FLAIR MR image.
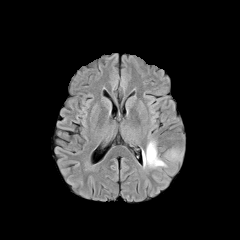
T1-weighted MR.
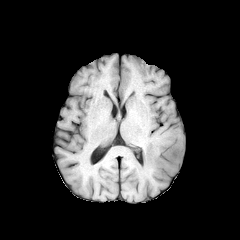
Post-contrast T1-weighted magnetic resonance.
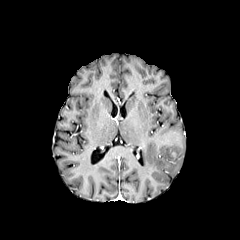
T2-weighted MR image.
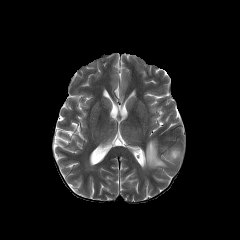
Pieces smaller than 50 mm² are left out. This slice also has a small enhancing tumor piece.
Findings:
* peritumoral edema: 143:140:166:167, 167:150:180:159